Head; Axial plane; Image size 240x240
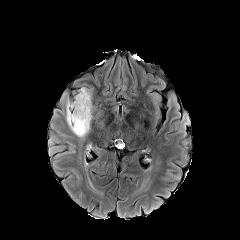
FLAIR MRI.
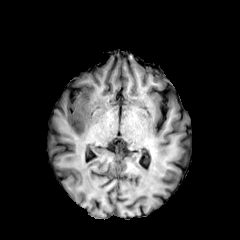
T1-weighted MR image.
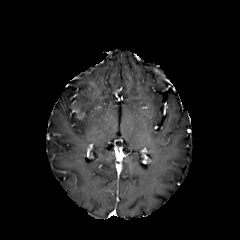
Post-contrast T1-weighted MR of the same slice.
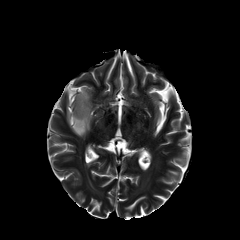
T2-weighted MRI of the same slice.
The enhancing tumor appears at 72, 106, 84, 119. The peritumoral edema appears at 66, 87, 92, 137.